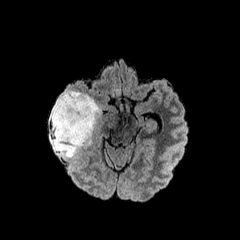
FLAIR magnetic resonance.
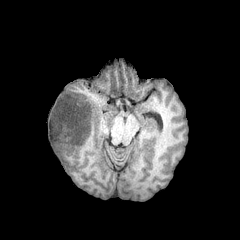
T1-weighted MR image of the same slice.
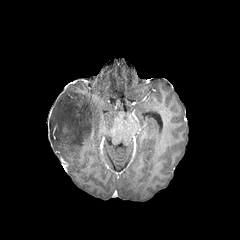
Same slice, post-contrast T1-weighted MR image.
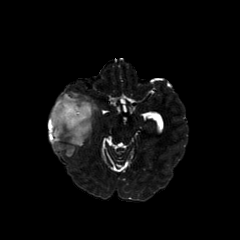
T2-weighted magnetic resonance.
Axial plane, Image size 240x240, Head
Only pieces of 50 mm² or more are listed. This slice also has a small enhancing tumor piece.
The peritumoral edema is located at (49,91,101,157).